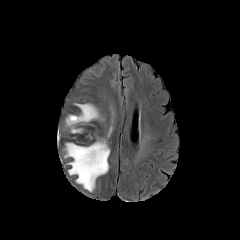
FLAIR MR image.
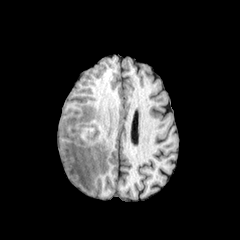
T1-weighted MR.
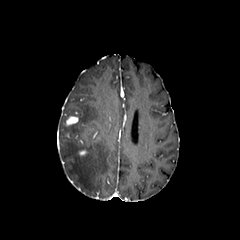
Post-contrast T1-weighted MR image.
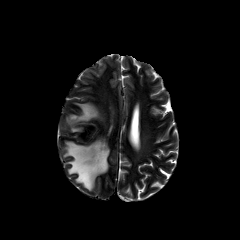
T2-weighted MRI.
240x240.
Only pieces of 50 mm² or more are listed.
Segmented structures:
* enhancing tumor: (left=66, top=116, right=78, bottom=125)
* peritumoral edema: (left=64, top=138, right=109, bottom=191), (left=65, top=103, right=100, bottom=133)